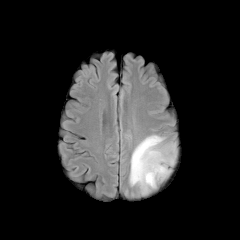
FLAIR MR image.
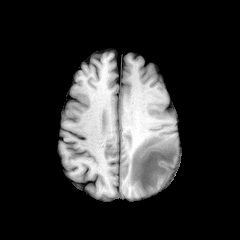
T1-weighted MR of the same slice.
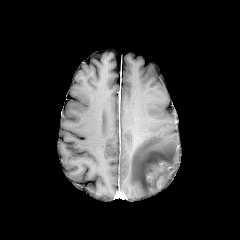
Post-contrast T1-weighted magnetic resonance of the same slice.
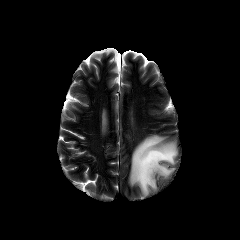
T2-weighted MR image.
Brain; Axial slice
The peritumoral edema appears at box(129, 135, 176, 195). The enhancing tumor is bounded by box(147, 168, 162, 180).